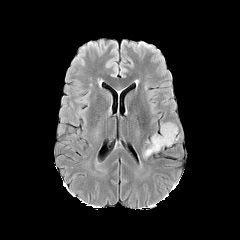
FLAIR MRI.
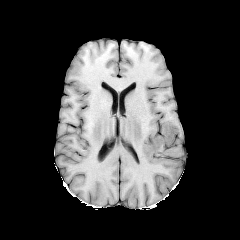
T1-weighted MR image.
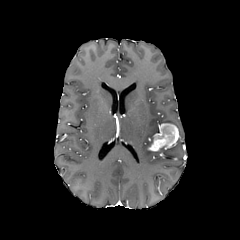
Post-contrast T1-weighted MRI.
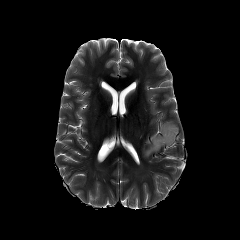
T2-weighted magnetic resonance of the same slice.
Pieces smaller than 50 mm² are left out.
- peritumoral edema: 143,149,153,157
- enhancing tumor: 148,123,179,151